Head. Image width 240 mm. Axial plane.
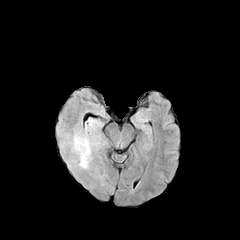
FLAIR magnetic resonance.
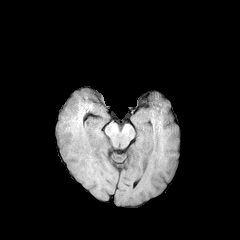
T1-weighted magnetic resonance of the same slice.
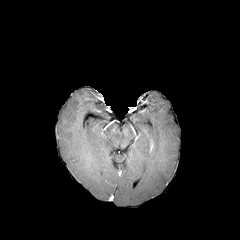
Post-contrast T1-weighted MR.
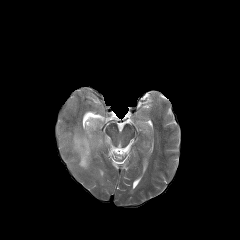
Same slice, T2-weighted magnetic resonance.
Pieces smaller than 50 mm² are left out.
peritumoral edema at x1=62, y1=118, x2=104, y2=169